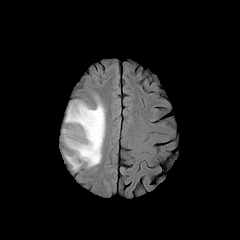
FLAIR magnetic resonance.
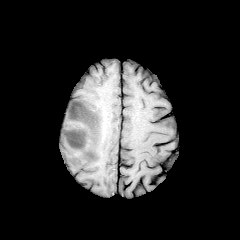
Same slice, T1-weighted magnetic resonance.
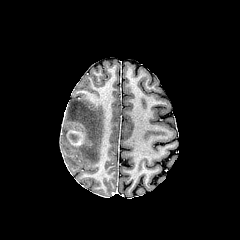
Same slice, post-contrast T1-weighted MRI.
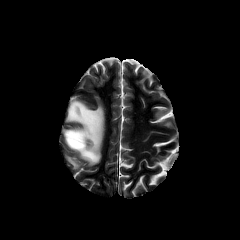
T2-weighted MRI.
Brain. 240x240.
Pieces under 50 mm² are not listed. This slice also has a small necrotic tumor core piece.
The peritumoral edema is at [63,99,105,169]. The enhancing tumor is located at [66,125,86,147].